FLAIR MR image.
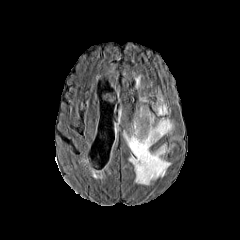
T1-weighted MRI.
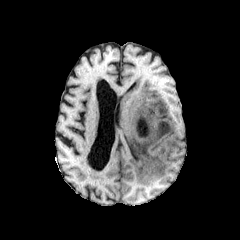
Post-contrast T1-weighted MR image.
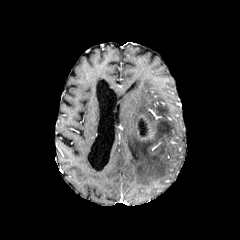
T2-weighted MR.
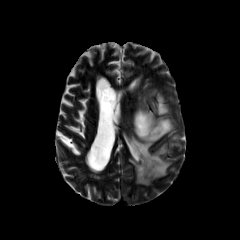
Head, Axial plane
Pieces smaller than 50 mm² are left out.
Findings:
* necrotic tumor core: rect(137, 118, 148, 136)
* enhancing tumor: rect(136, 114, 155, 140)
* peritumoral edema: rect(123, 107, 173, 184); rect(156, 104, 167, 114)